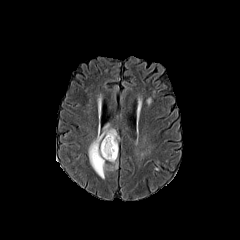
FLAIR magnetic resonance.
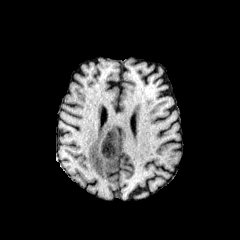
T1-weighted MR of the same slice.
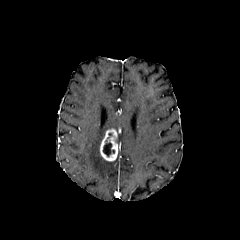
Post-contrast T1-weighted magnetic resonance of the same slice.
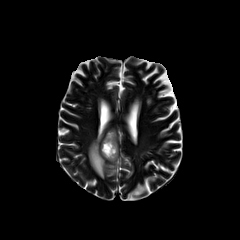
T2-weighted MR image.
Head. Axial slice.
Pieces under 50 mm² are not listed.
The enhancing tumor lies within 100,128,117,161. The largest peritumoral edema region appears at 88,123,118,179. The largest necrotic tumor core region is located at 103,142,114,156.